FLAIR MR.
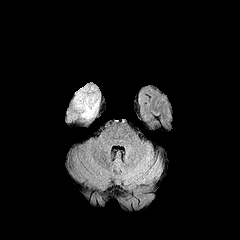
T1-weighted magnetic resonance.
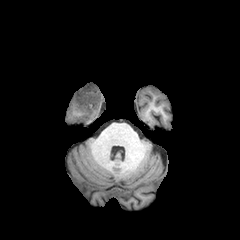
Post-contrast T1-weighted magnetic resonance.
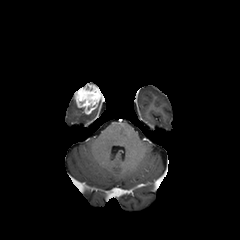
T2-weighted MR image.
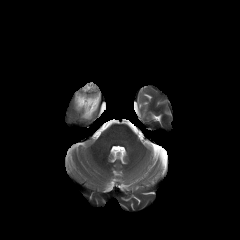
Head
<segmentation>
  <enhancing_tumor>(74, 83, 102, 114)</enhancing_tumor>
  <peritumoral_edema>(73, 100, 98, 120)</peritumoral_edema>
</segmentation>